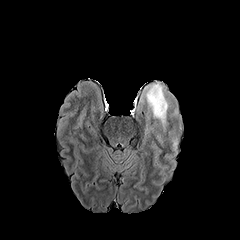
FLAIR MRI.
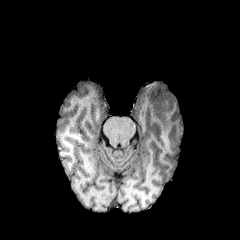
T1-weighted MR image.
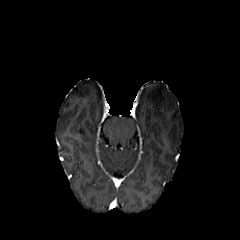
Post-contrast T1-weighted MR image of the same slice.
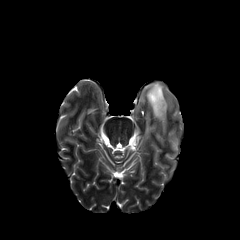
T2-weighted MRI of the same slice.
Axial view | Head
peritumoral edema — <bbox>144, 82, 168, 131</bbox>, <bbox>170, 136, 180, 156</bbox>